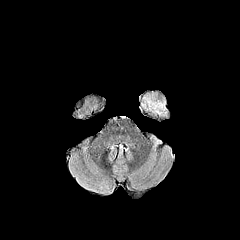
FLAIR MRI.
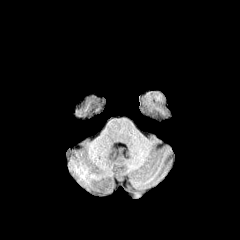
T1-weighted MR image of the same slice.
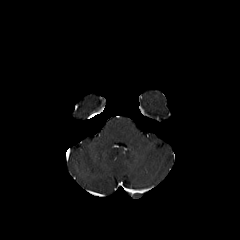
Post-contrast T1-weighted magnetic resonance.
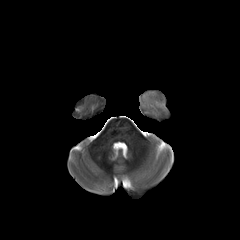
T2-weighted MR of the same slice.
240x240 px. Head.
{"peritumoral_edema": ["bbox=[142, 92, 164, 108]"]}